FLAIR MR image.
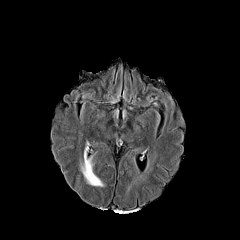
T1-weighted MR.
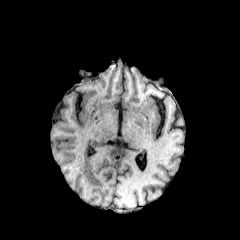
Post-contrast T1-weighted magnetic resonance.
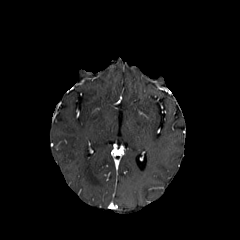
T2-weighted MR image.
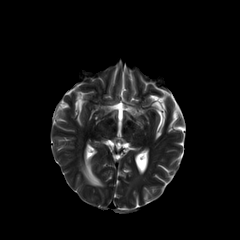
Axial view, 240x240
peritumoral edema — box=[81, 147, 103, 186]